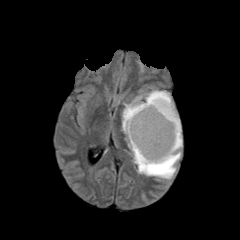
FLAIR magnetic resonance.
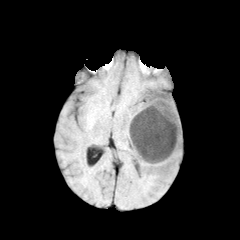
T1-weighted MR image of the same slice.
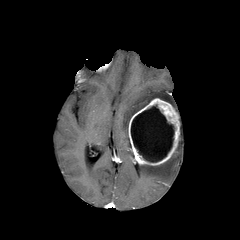
Post-contrast T1-weighted MR image.
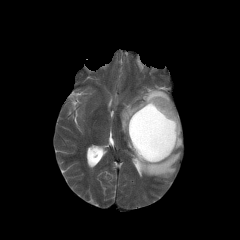
T2-weighted magnetic resonance.
Axial slice
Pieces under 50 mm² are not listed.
The 2 largest peritumoral edema regions are bounded by [122,89,174,149], [136,126,182,179]. The necrotic tumor core is bounded by [131,105,174,162]. The enhancing tumor lies within [128,98,180,165].